FLAIR MR.
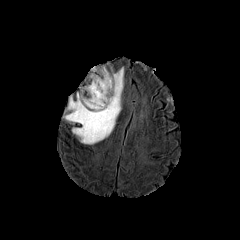
T1-weighted MR image.
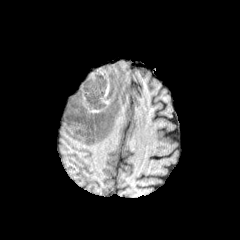
Post-contrast T1-weighted MRI.
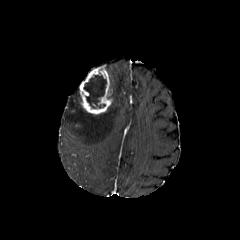
T2-weighted MR image.
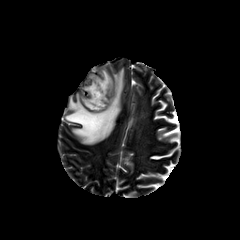
peritumoral edema: bounding box 64,67,124,144
necrotic tumor core: bounding box 83,75,106,108
enhancing tumor: bounding box 80,66,112,114